Image covers 240 mm x 240 mm; Brain; 240x240 px
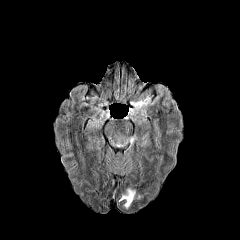
FLAIR MRI.
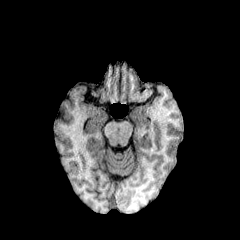
T1-weighted magnetic resonance of the same slice.
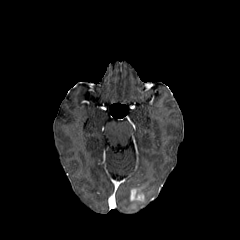
Post-contrast T1-weighted MRI.
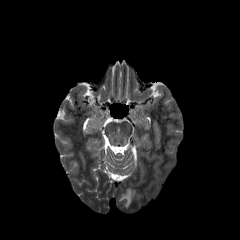
T2-weighted MR.
{
  "peritumoral_edema": [
    "(120, 188, 133, 209)"
  ],
  "enhancing_tumor": [
    "(130, 189, 143, 200)"
  ]
}